240x240, Slice index 55, Image covers 240 mm x 240 mm
FLAIR MR.
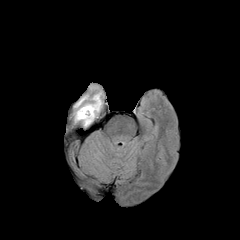
T1-weighted MR image.
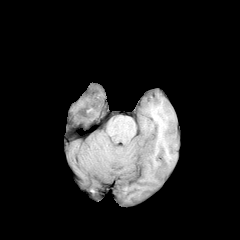
Post-contrast T1-weighted magnetic resonance.
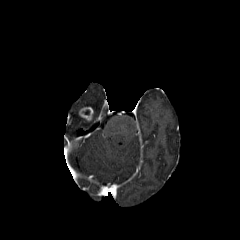
T2-weighted MR image.
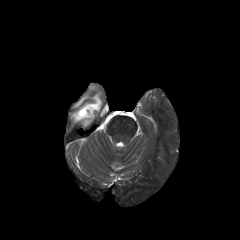
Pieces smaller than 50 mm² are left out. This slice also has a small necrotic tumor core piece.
<segmentation>
  <enhancing_tumor>x1=78 y1=107 x2=93 y2=121</enhancing_tumor>
  <peritumoral_edema>x1=74 y1=91 x2=102 y2=126</peritumoral_edema>
</segmentation>